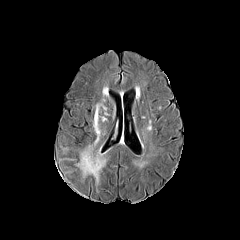
FLAIR magnetic resonance.
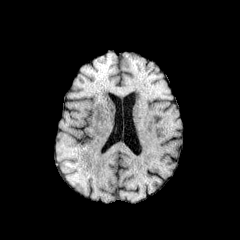
T1-weighted magnetic resonance of the same slice.
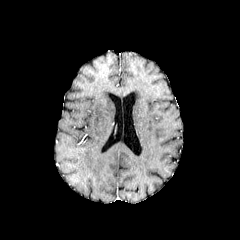
Post-contrast T1-weighted MR.
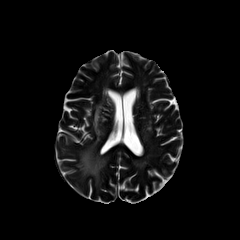
T2-weighted magnetic resonance of the same slice.
Axial view | Brain
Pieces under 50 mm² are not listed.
The 2 largest peritumoral edema regions are bounded by left=77, top=146, right=105, bottom=183; left=94, top=103, right=106, bottom=145.